Image covers 240 mm x 240 mm | Axial slice
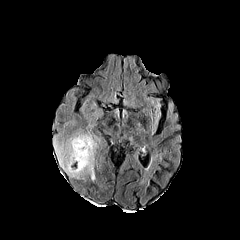
FLAIR MR.
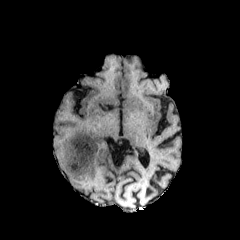
T1-weighted MR.
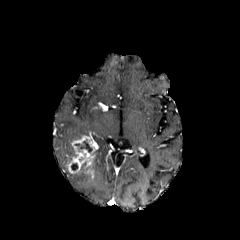
Post-contrast T1-weighted magnetic resonance.
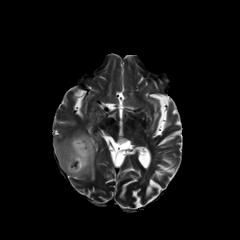
T2-weighted magnetic resonance.
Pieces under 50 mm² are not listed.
peritumoral_edema:
  - [54,132,90,179]
necrotic_tumor_core:
  - [81,140,92,157]
  - [71,162,78,171]
enhancing_tumor:
  - [69,137,94,173]